Head | Slice 46/155
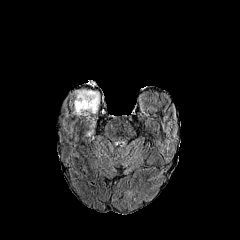
FLAIR MR.
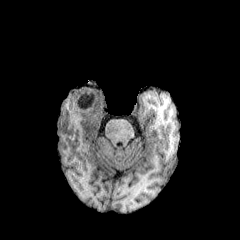
Same slice, T1-weighted MR image.
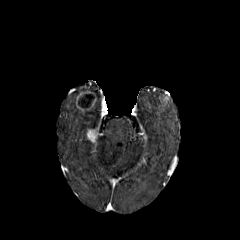
Same slice, post-contrast T1-weighted MR.
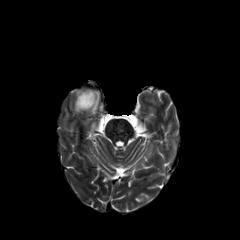
Same slice, T2-weighted MR image.
2 peritumoral edema regions are located at box(67, 89, 99, 115); box(86, 119, 95, 128). The necrotic tumor core lies within box(78, 94, 93, 108). 2 enhancing tumor regions are located at box(86, 129, 96, 142); box(76, 90, 96, 112).